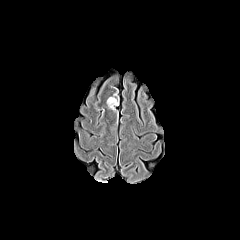
FLAIR MR image.
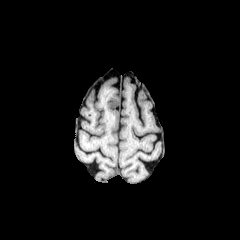
T1-weighted magnetic resonance.
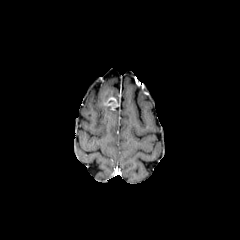
Post-contrast T1-weighted magnetic resonance.
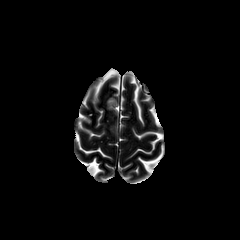
T2-weighted MR image.
Image size 240x240
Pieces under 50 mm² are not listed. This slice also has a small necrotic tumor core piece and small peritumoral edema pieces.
enhancing tumor: l=106, t=97, r=118, b=109